240x240 px. Axial slice.
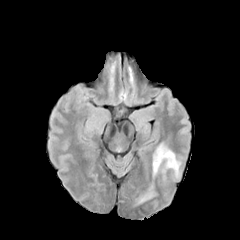
FLAIR MRI.
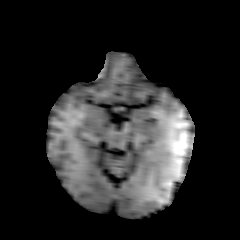
T1-weighted MRI.
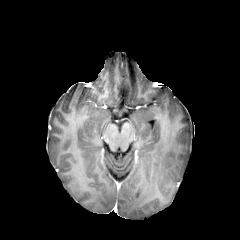
Post-contrast T1-weighted MRI of the same slice.
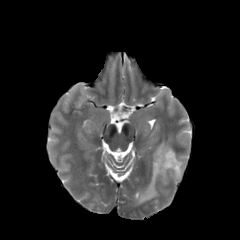
Same slice, T2-weighted MR.
2 peritumoral edema regions are located at rect(134, 182, 158, 206); rect(153, 143, 180, 177).